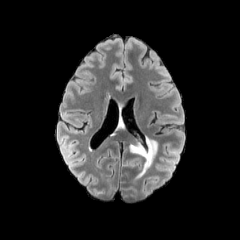
FLAIR MRI.
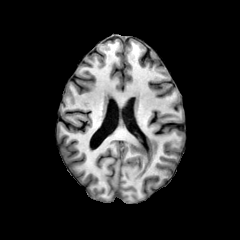
T1-weighted MR.
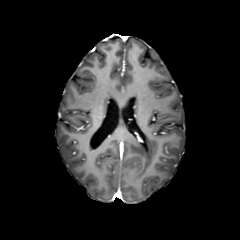
Post-contrast T1-weighted MRI of the same slice.
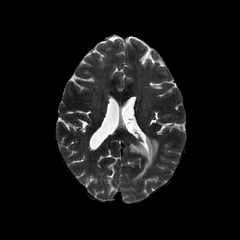
Same slice, T2-weighted magnetic resonance.
peritumoral edema: left=128, top=136, right=159, bottom=179